Slice 58 of 155; Head; Axial view
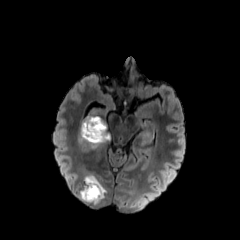
FLAIR MR.
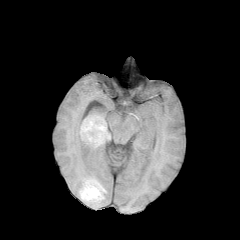
Same slice, T1-weighted magnetic resonance.
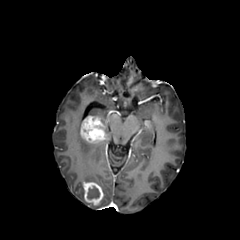
Post-contrast T1-weighted magnetic resonance.
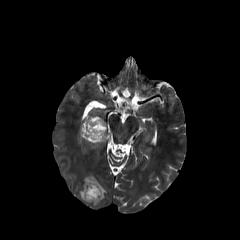
T2-weighted MR image.
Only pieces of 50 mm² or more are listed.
2 enhancing tumor regions are located at (80,116,107,142), (83,182,103,204). The necrotic tumor core is bounded by (87,186,99,199). The 3 largest peritumoral edema regions are located at (78,117,110,147), (84,174,106,200), (79,188,98,206).